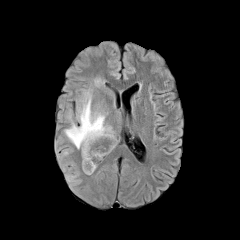
FLAIR MRI.
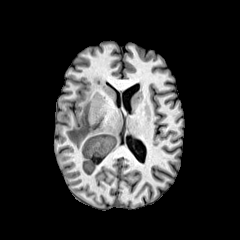
T1-weighted MR.
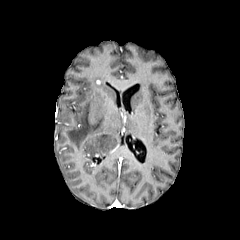
Post-contrast T1-weighted magnetic resonance.
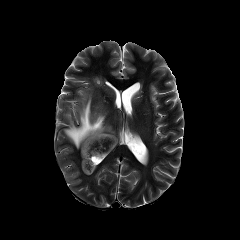
T2-weighted MR image.
Head; Axial slice; 240x240
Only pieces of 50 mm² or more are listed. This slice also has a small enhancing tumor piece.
peritumoral edema = [83, 166, 95, 174], [65, 91, 116, 165]